Image size 240x240, Image width 240 mm, 1.00 mm slice spacing, Head, Slice 119 of 155
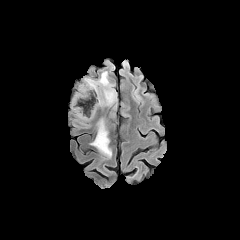
FLAIR MR.
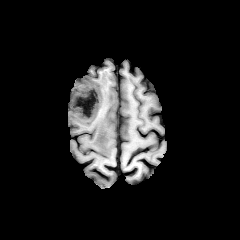
Same slice, T1-weighted magnetic resonance.
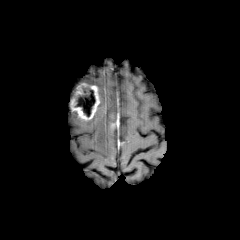
Post-contrast T1-weighted magnetic resonance.
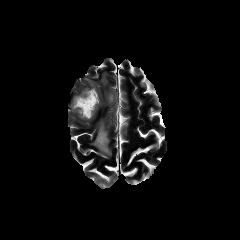
T2-weighted MR image.
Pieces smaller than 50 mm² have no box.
The 2 largest peritumoral edema regions are located at [91, 119, 111, 157], [85, 72, 115, 105]. The necrotic tumor core appears at [75, 87, 95, 116]. The largest enhancing tumor region is at [70, 83, 100, 120].